FLAIR MR image.
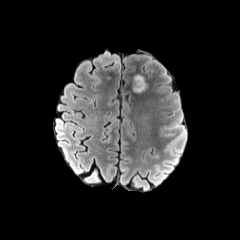
T1-weighted MR image.
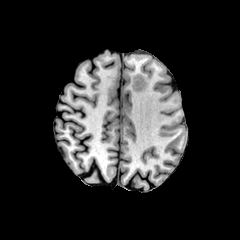
Post-contrast T1-weighted MR image.
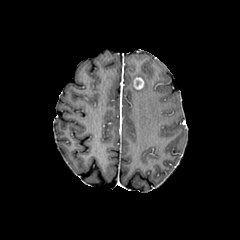
T2-weighted magnetic resonance.
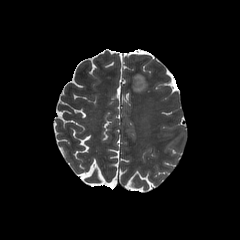
240x240.
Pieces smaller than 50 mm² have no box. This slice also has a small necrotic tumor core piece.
peritumoral_edema:
  - [133,82,146,92]
enhancing_tumor:
  - [133,77,144,89]